Slice index 81
FLAIR MR image.
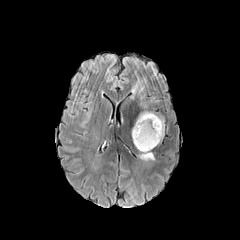
T1-weighted MR.
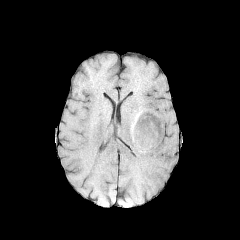
Post-contrast T1-weighted magnetic resonance.
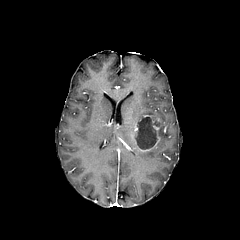
T2-weighted MR.
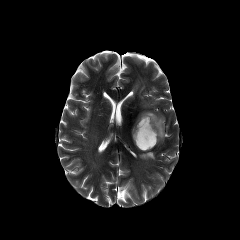
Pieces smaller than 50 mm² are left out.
The 3 largest peritumoral edema regions are located at 139, 151, 154, 160; 136, 111, 156, 123; 159, 117, 164, 139. The largest enhancing tumor region is bounded by 132, 115, 161, 151. The necrotic tumor core is bounded by 134, 117, 159, 149.